FLAIR magnetic resonance.
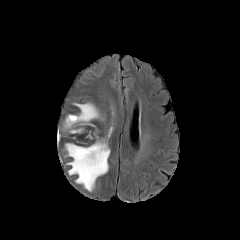
T1-weighted MR image.
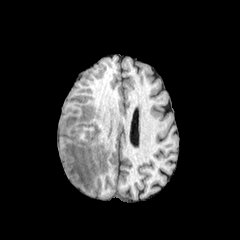
Post-contrast T1-weighted magnetic resonance.
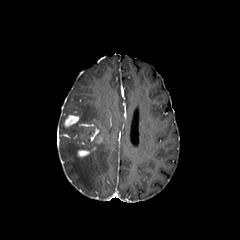
T2-weighted MRI.
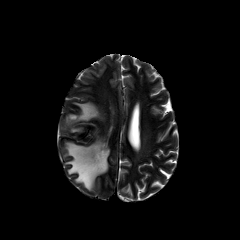
Axial plane, Head, 240x240
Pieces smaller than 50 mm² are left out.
{"peritumoral_edema": ["65 127 112 191", "63 102 101 133"], "enhancing_tumor": ["64 115 79 127", "78 150 90 157"]}